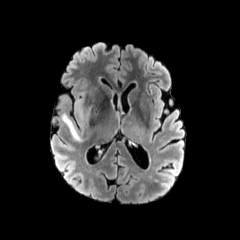
FLAIR MR image.
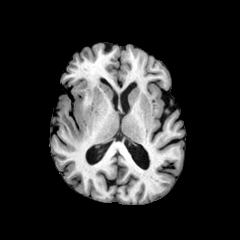
T1-weighted MR image of the same slice.
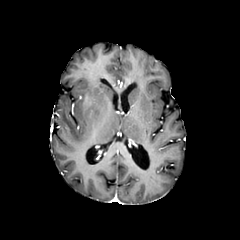
Post-contrast T1-weighted magnetic resonance.
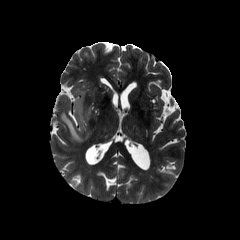
T2-weighted MR image of the same slice.
Axial slice
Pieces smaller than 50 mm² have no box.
peritumoral edema: bbox=[75, 99, 83, 122]; bbox=[61, 112, 84, 142]